Image size 240x240, Axial slice, Head
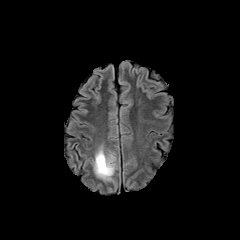
FLAIR MR.
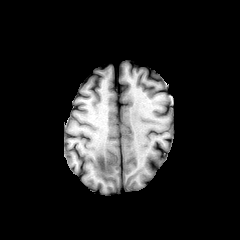
T1-weighted magnetic resonance of the same slice.
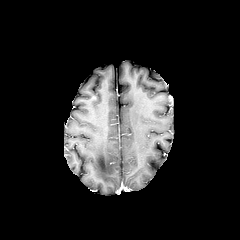
Post-contrast T1-weighted MR image.
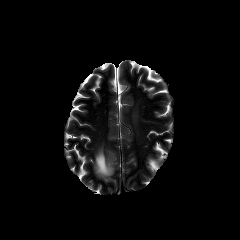
T2-weighted MRI of the same slice.
- peritumoral edema: [94,147,115,180]